Head. 240x240 px. Axial view.
FLAIR MR.
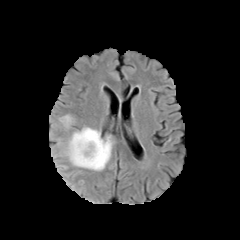
T1-weighted magnetic resonance.
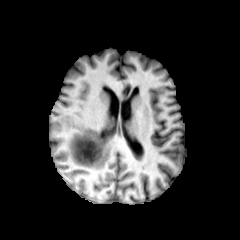
Post-contrast T1-weighted MR.
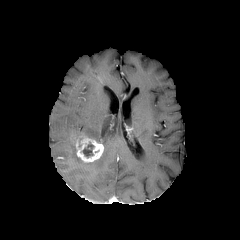
T2-weighted magnetic resonance.
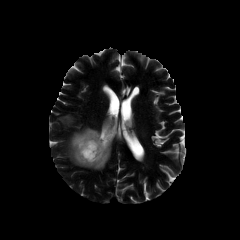
2 peritumoral edema regions are located at 59:115:73:128, 66:127:112:170. The necrotic tumor core is at 83:144:93:156. The enhancing tumor lies within 73:133:103:164.